FLAIR magnetic resonance.
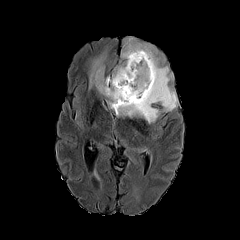
T1-weighted MRI.
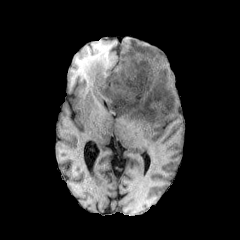
Post-contrast T1-weighted MRI.
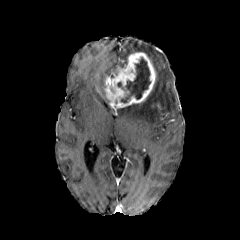
T2-weighted magnetic resonance.
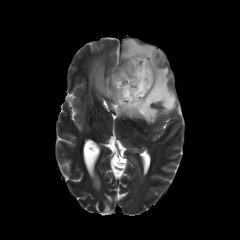
Axial slice
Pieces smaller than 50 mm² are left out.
necrotic tumor core — <bbox>121, 57, 150, 103</bbox>
enhancing tumor — <bbox>103, 52, 156, 112</bbox>
peritumoral edema — <bbox>116, 38, 177, 123</bbox>, <bbox>85, 47, 108, 94</bbox>